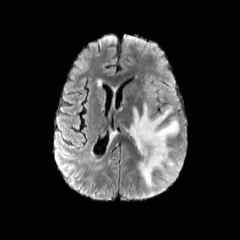
FLAIR MRI.
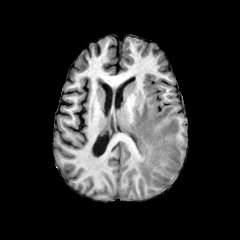
T1-weighted magnetic resonance.
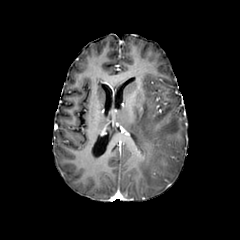
Post-contrast T1-weighted magnetic resonance of the same slice.
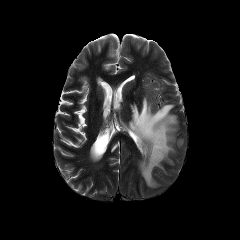
T2-weighted MRI.
Axial plane. 240x240.
Annotated regions:
- peritumoral edema: {"x1": 129, "y1": 102, "x2": 178, "y2": 187}